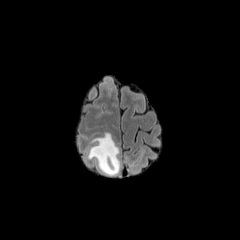
FLAIR magnetic resonance.
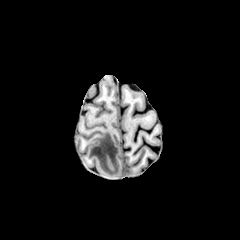
T1-weighted magnetic resonance.
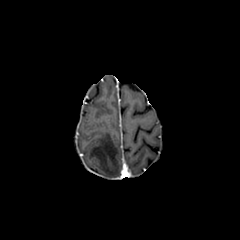
Same slice, post-contrast T1-weighted magnetic resonance.
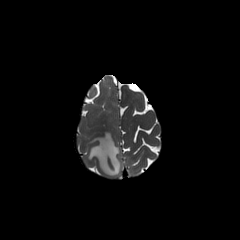
T2-weighted magnetic resonance.
Brain | Axial view
<segmentation>
  <peritumoral_edema>87:132:120:175</peritumoral_edema>
</segmentation>